FLAIR MR image.
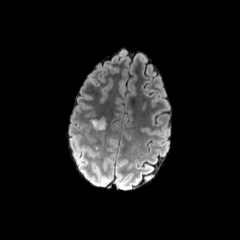
T1-weighted MRI.
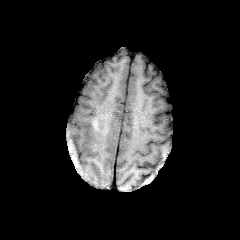
Post-contrast T1-weighted MR image.
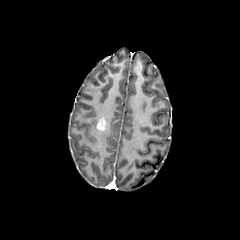
T2-weighted magnetic resonance.
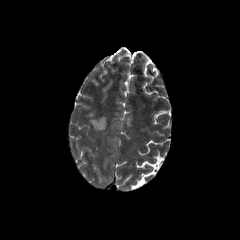
Axial slice | Image size 240x240 | Head
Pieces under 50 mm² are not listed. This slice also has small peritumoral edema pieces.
enhancing tumor: bounding box 96, 117, 106, 131